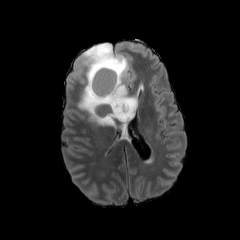
FLAIR magnetic resonance.
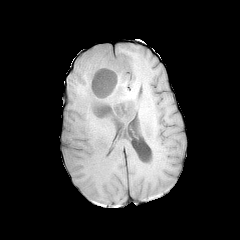
T1-weighted MR image.
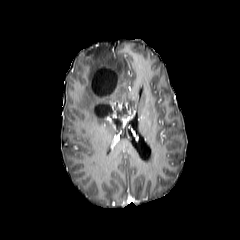
Post-contrast T1-weighted MR.
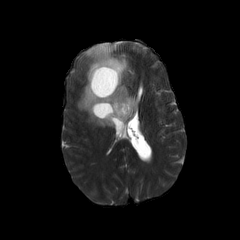
T2-weighted magnetic resonance.
Axial plane, Brain
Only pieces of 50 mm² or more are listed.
peritumoral edema = bbox=[77, 43, 137, 126]
enhancing tumor = bbox=[121, 108, 134, 129]; bbox=[104, 116, 116, 127]
necrotic tumor core = bbox=[95, 104, 110, 116]; bbox=[92, 68, 117, 95]